FLAIR MRI.
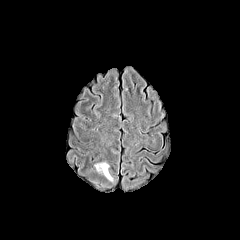
T1-weighted magnetic resonance.
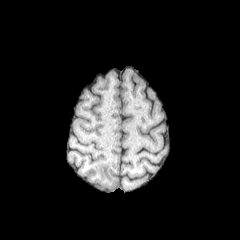
Post-contrast T1-weighted magnetic resonance.
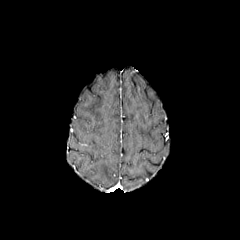
T2-weighted MR.
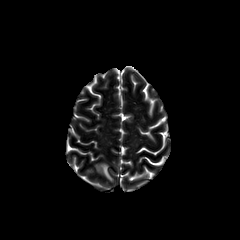
Brain. 240x240 px. Axial plane.
peritumoral edema — [95, 162, 113, 181]